FLAIR MR.
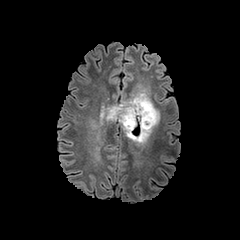
T1-weighted MRI.
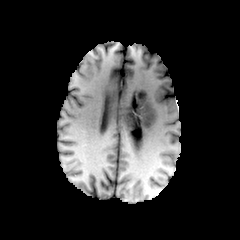
Post-contrast T1-weighted magnetic resonance.
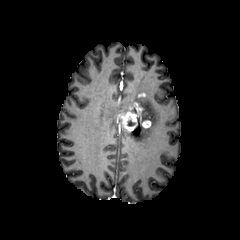
T2-weighted MRI.
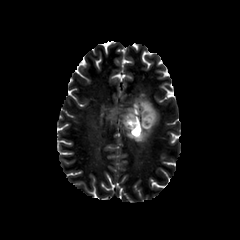
Axial slice, Head
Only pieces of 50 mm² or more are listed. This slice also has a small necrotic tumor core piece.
The peritumoral edema is located at [x1=105, y1=93, x2=158, y2=140]. The largest enhancing tumor region is at [x1=118, y1=102, x2=150, y2=131].